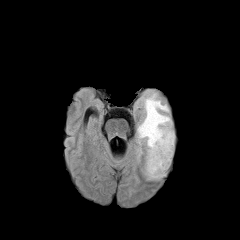
FLAIR MR image.
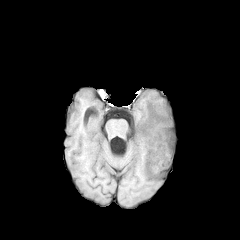
T1-weighted magnetic resonance.
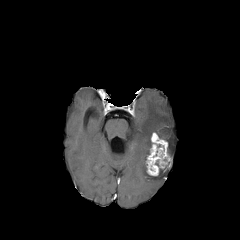
Post-contrast T1-weighted MR of the same slice.
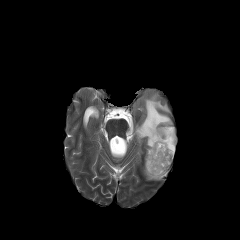
T2-weighted MR image of the same slice.
Axial plane, 240x240
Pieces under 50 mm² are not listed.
The enhancing tumor is bounded by box=[145, 132, 171, 176]. The 2 largest peritumoral edema regions appear at box=[145, 165, 165, 179]; box=[137, 93, 174, 156].